Image size 240x240, Brain
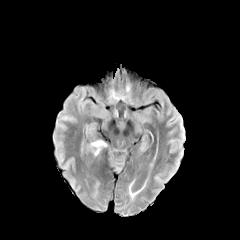
FLAIR MR image.
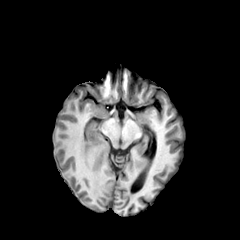
T1-weighted MRI.
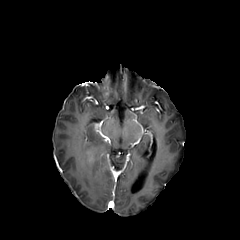
Post-contrast T1-weighted MRI of the same slice.
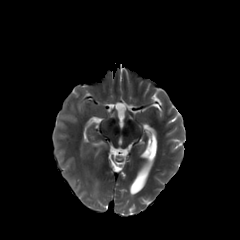
Same slice, T2-weighted magnetic resonance.
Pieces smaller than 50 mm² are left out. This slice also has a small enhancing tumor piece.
peritumoral_edema:
  - rect(91, 140, 105, 155)